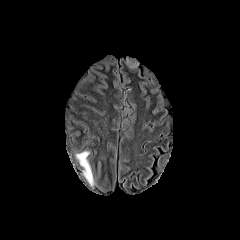
FLAIR MRI.
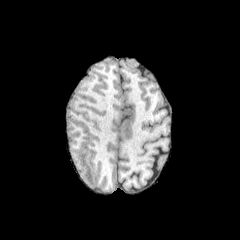
T1-weighted magnetic resonance.
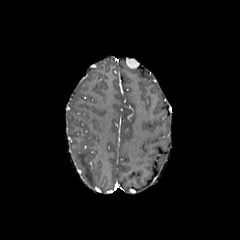
Same slice, post-contrast T1-weighted MRI.
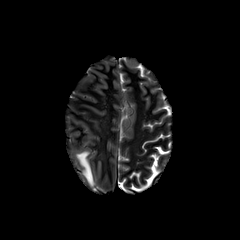
T2-weighted magnetic resonance.
240x240.
The peritumoral edema is located at bbox=[76, 151, 94, 185].